Axial slice, 240x240 px
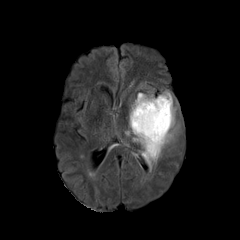
FLAIR MRI.
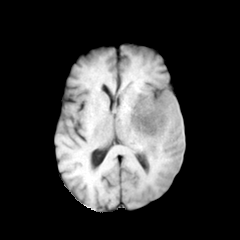
Same slice, T1-weighted MR.
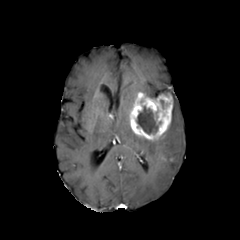
Post-contrast T1-weighted MRI.
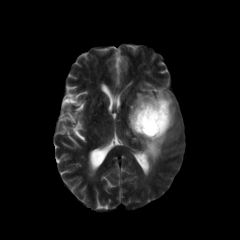
T2-weighted MR.
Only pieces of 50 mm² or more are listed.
enhancing tumor: bbox(129, 92, 173, 140) | peritumoral edema: bbox(125, 104, 179, 170) | necrotic tumor core: bbox(137, 106, 158, 134)